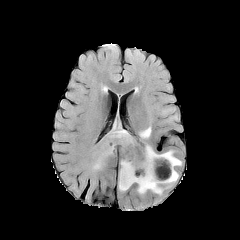
FLAIR MR.
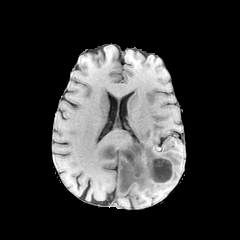
Same slice, T1-weighted MR.
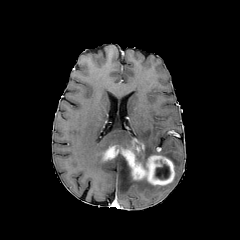
Same slice, post-contrast T1-weighted MRI.
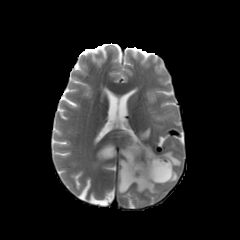
T2-weighted MR image.
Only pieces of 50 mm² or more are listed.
Segmented structures:
• enhancing tumor: l=102, t=138, r=174, b=185
• peritumoral edema: l=118, t=159, r=162, b=193; l=94, t=143, r=109, b=168; l=110, t=128, r=132, b=145; l=164, t=170, r=178, b=186; l=144, t=145, r=182, b=167; l=139, t=127, r=151, b=139
• necrotic tumor core: l=155, t=161, r=170, b=179